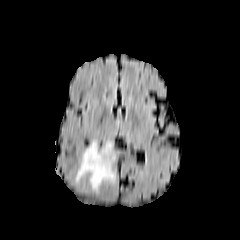
FLAIR magnetic resonance.
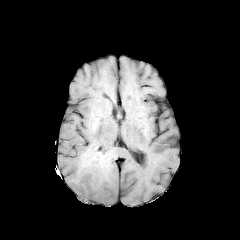
Same slice, T1-weighted magnetic resonance.
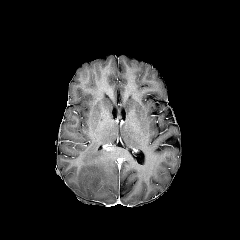
Same slice, post-contrast T1-weighted MRI.
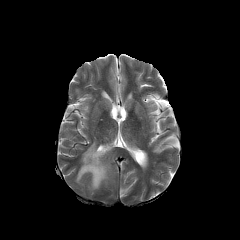
Same slice, T2-weighted magnetic resonance.
240x240 | Axial view | Brain
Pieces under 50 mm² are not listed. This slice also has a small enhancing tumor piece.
peritumoral edema: x1=76, y1=141, x2=124, y2=190